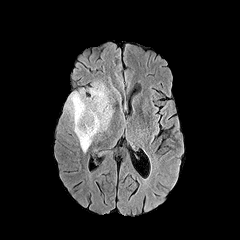
FLAIR MR image.
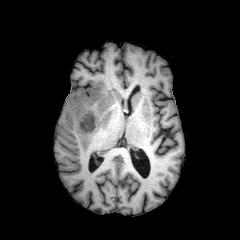
T1-weighted MRI.
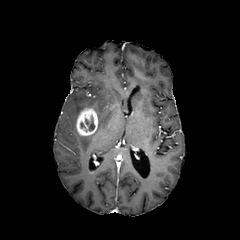
Post-contrast T1-weighted magnetic resonance.
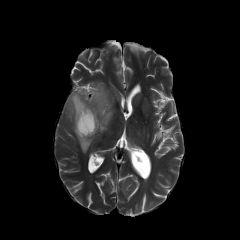
T2-weighted MRI.
Axial slice
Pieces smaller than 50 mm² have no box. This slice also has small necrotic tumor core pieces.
enhancing_tumor:
  - {"x1": 76, "y1": 107, "x2": 97, "y2": 135}
peritumoral_edema:
  - {"x1": 65, "y1": 83, "x2": 112, "y2": 152}